Axial view
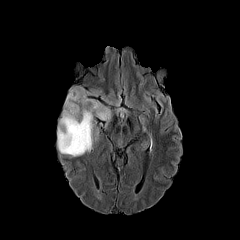
FLAIR MR.
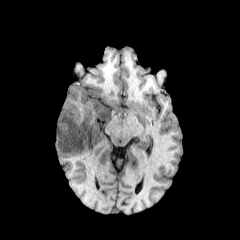
Same slice, T1-weighted MRI.
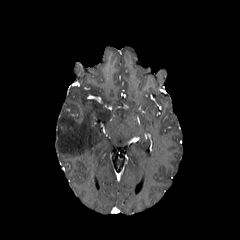
Post-contrast T1-weighted MR image.
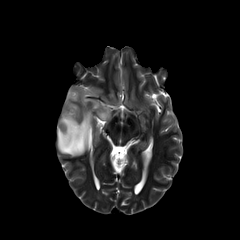
T2-weighted MR of the same slice.
peritumoral_edema:
  - 57, 88, 110, 157